Axial slice, Head, Slice 81 of 155
FLAIR magnetic resonance.
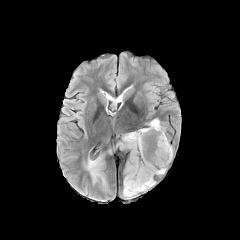
T1-weighted MR.
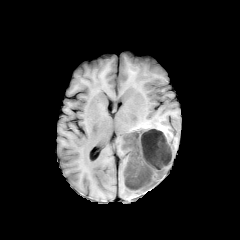
Post-contrast T1-weighted magnetic resonance.
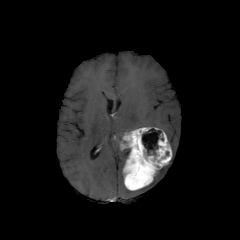
T2-weighted magnetic resonance.
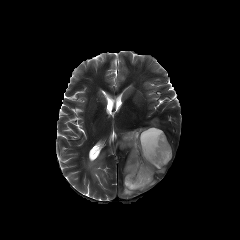
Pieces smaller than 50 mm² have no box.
peritumoral edema: bounding box (x1=149, y1=119, x2=162, y2=129), (x1=123, y1=180, x2=155, y2=198), (x1=87, y1=157, x2=105, y2=183), (x1=157, y1=167, x2=165, y2=174)
necrotic tumor core: bounding box (x1=142, y1=128, x2=161, y2=154)
enhancing tumor: bounding box (x1=120, y1=127, x2=172, y2=190)